240x240, Image width 240 mm, 1.00 mm slice spacing, Axial plane
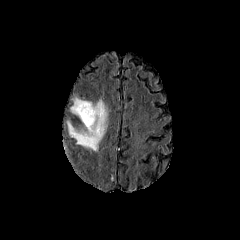
FLAIR magnetic resonance.
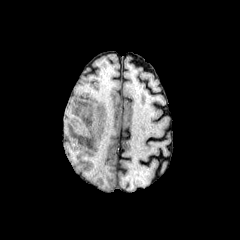
Same slice, T1-weighted MR image.
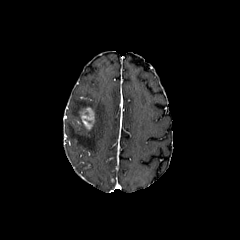
Post-contrast T1-weighted MRI.
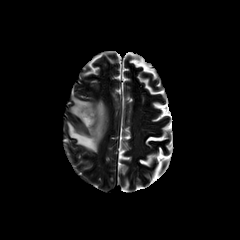
T2-weighted MRI of the same slice.
peritumoral_edema:
  - [x1=67, y1=97, x2=107, y2=151]
enhancing_tumor:
  - [x1=79, y1=107, x2=94, y2=130]